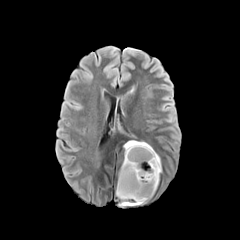
FLAIR MR image.
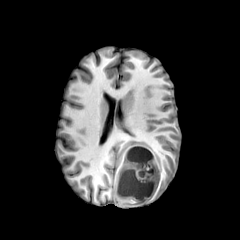
T1-weighted MR image of the same slice.
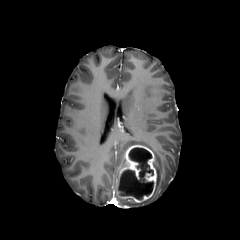
Post-contrast T1-weighted MR image.
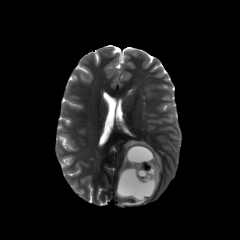
T2-weighted MR.
Head | Axial view
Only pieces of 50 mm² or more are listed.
peritumoral edema: bounding box region(121, 201, 145, 205); region(124, 140, 162, 188)
necrotic tumor core: bounding box region(117, 147, 153, 199)
enhancing tumor: bounding box region(117, 145, 156, 202)